Head | 240x240 px
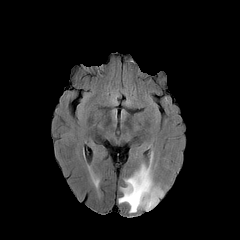
FLAIR MR image.
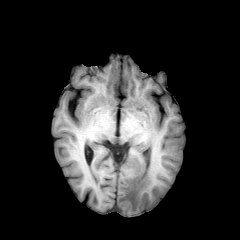
Same slice, T1-weighted magnetic resonance.
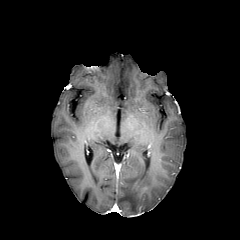
Post-contrast T1-weighted MR image.
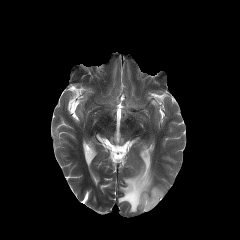
T2-weighted MR image.
<segmentation>
  <peritumoral_edema>[118,163,163,212]</peritumoral_edema>
  <enhancing_tumor>[131,181,143,194]</enhancing_tumor>
</segmentation>